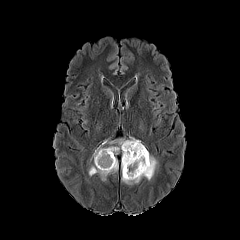
FLAIR MR.
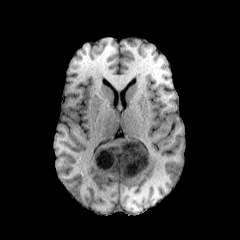
T1-weighted magnetic resonance.
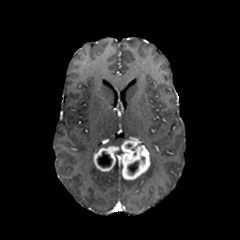
Same slice, post-contrast T1-weighted magnetic resonance.
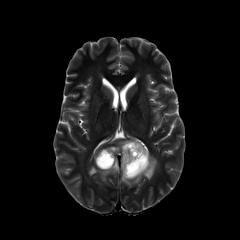
T2-weighted MRI of the same slice.
Image size 240x240, Brain
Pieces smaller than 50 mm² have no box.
enhancing tumor: (left=93, top=138, right=150, bottom=179)
peritumoral edema: (left=109, top=139, right=125, bottom=146), (left=88, top=159, right=118, bottom=180), (left=121, top=155, right=157, bottom=184)
necrotic tumor core: (left=127, top=161, right=138, bottom=174), (left=97, top=151, right=112, bottom=167)